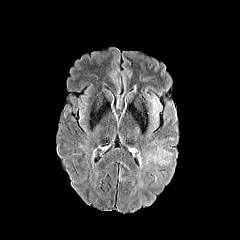
FLAIR MRI.
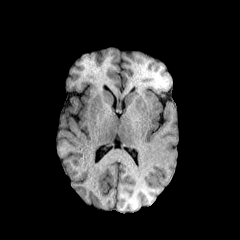
T1-weighted magnetic resonance of the same slice.
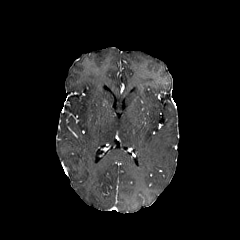
Post-contrast T1-weighted MRI.
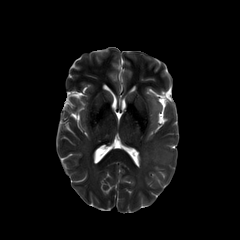
T2-weighted MRI.
Brain. 240x240.
The peritumoral edema is located at <bbox>144, 134, 175, 164</bbox>.